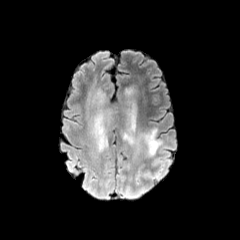
FLAIR MR image.
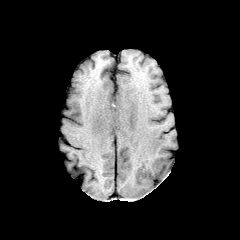
T1-weighted MR.
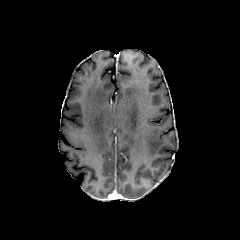
Post-contrast T1-weighted magnetic resonance of the same slice.
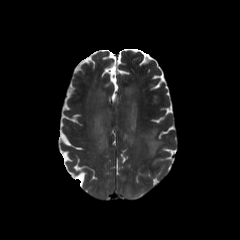
T2-weighted magnetic resonance.
Axial plane; 240x240 px
peritumoral edema: (135,129,160,156), (122,93,136,143), (92,108,114,150), (96,91,105,104)